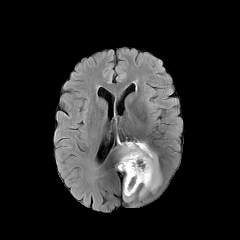
FLAIR MR image.
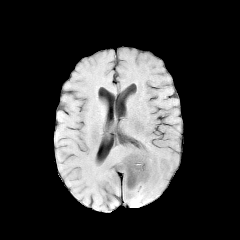
T1-weighted MR image of the same slice.
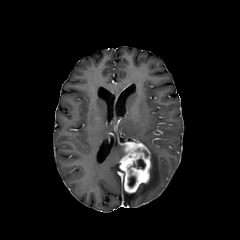
Post-contrast T1-weighted MR image.
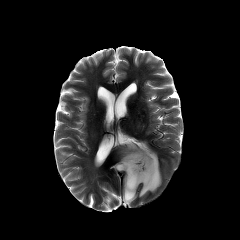
T2-weighted magnetic resonance.
Brain; Axial plane
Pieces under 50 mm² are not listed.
The 2 largest peritumoral edema regions appear at <box>123,189,135,202</box>, <box>139,142,161,198</box>. The 2 largest necrotic tumor core regions are located at <box>137,159,145,168</box>, <box>128,176,135,186</box>. The enhancing tumor appears at <box>119,141,151,193</box>.